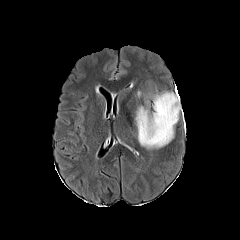
FLAIR MR.
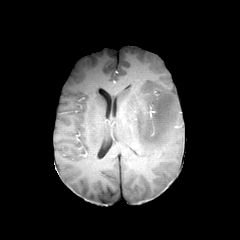
T1-weighted MR image of the same slice.
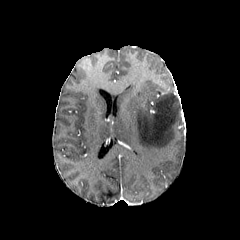
Post-contrast T1-weighted magnetic resonance.
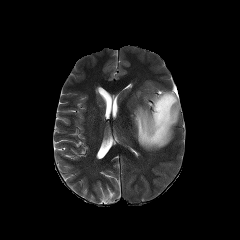
Same slice, T2-weighted MR image.
Brain
peritumoral edema: bounding box <bbox>135, 92, 180, 149</bbox>